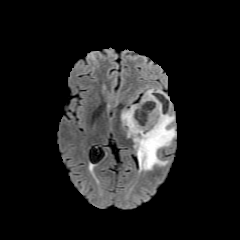
FLAIR MR.
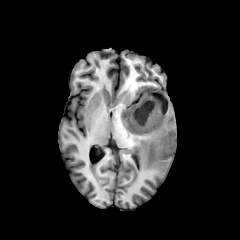
T1-weighted MRI.
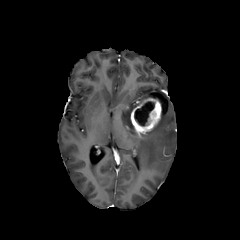
Same slice, post-contrast T1-weighted MR.
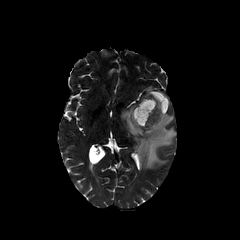
Same slice, T2-weighted MR.
Head
The peritumoral edema is at (left=121, top=88, right=176, bottom=170). The enhancing tumor is at (left=131, top=98, right=161, bottom=136). The necrotic tumor core is at (left=134, top=101, right=154, bottom=125).